Slice index 74, Brain, Image covers 240 mm x 240 mm
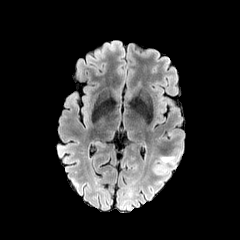
FLAIR MR image.
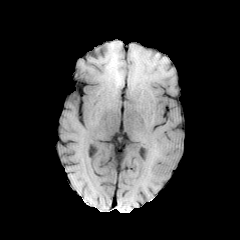
Same slice, T1-weighted magnetic resonance.
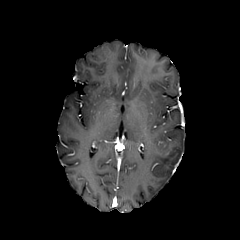
Post-contrast T1-weighted MR.
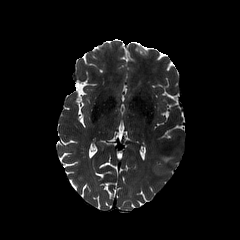
Same slice, T2-weighted magnetic resonance.
{"peritumoral_edema": ["box=[154, 155, 175, 174]"]}